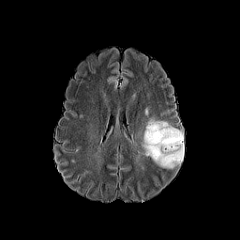
FLAIR MR.
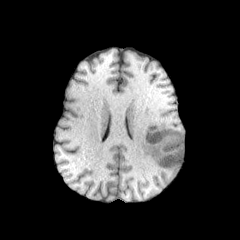
T1-weighted MRI of the same slice.
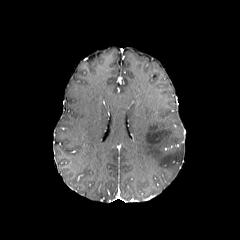
Same slice, post-contrast T1-weighted magnetic resonance.
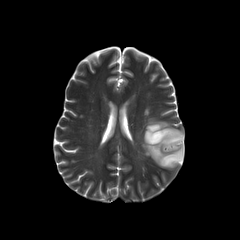
T2-weighted magnetic resonance.
Axial slice. Brain. 240x240 px.
Findings:
- peritumoral edema: (x1=142, y1=119, x2=184, y2=168)